FLAIR MRI.
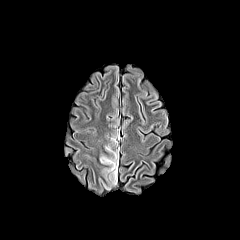
T1-weighted magnetic resonance.
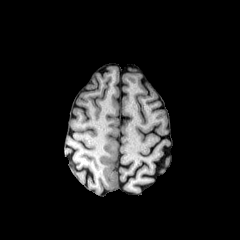
Post-contrast T1-weighted MR.
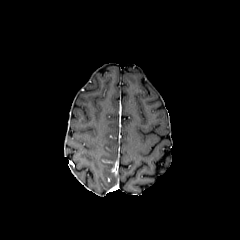
T2-weighted MR.
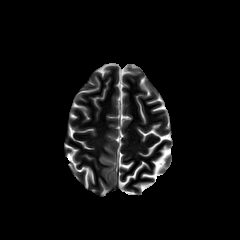
The peritumoral edema lies within {"x1": 100, "y1": 156, "x2": 117, "y2": 181}.